Axial plane; Slice 96 of 155
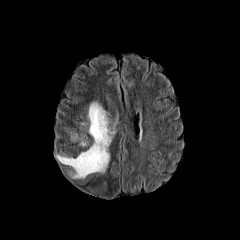
FLAIR magnetic resonance.
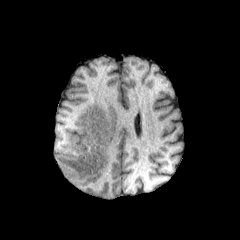
T1-weighted MR image of the same slice.
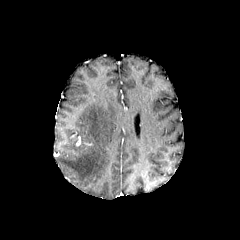
Same slice, post-contrast T1-weighted MRI.
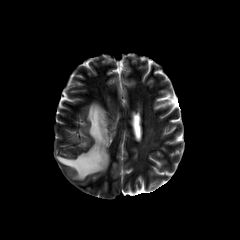
T2-weighted MRI of the same slice.
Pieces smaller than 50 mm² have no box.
The largest peritumoral edema region is at l=56, t=101, r=115, b=178.